Axial plane, Slice 55/155, Head
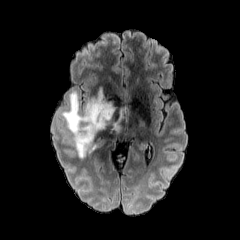
FLAIR MRI.
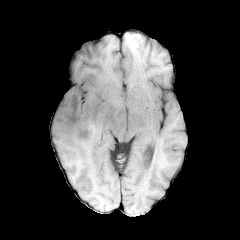
Same slice, T1-weighted MRI.
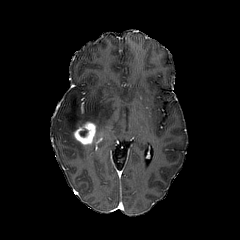
Post-contrast T1-weighted MR image.
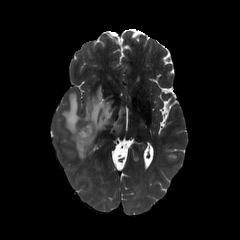
T2-weighted MR.
Findings:
- peritumoral edema: {"x1": 61, "y1": 87, "x2": 129, "y2": 158}
- enhancing tumor: {"x1": 74, "y1": 122, "x2": 96, "y2": 145}
- necrotic tumor core: {"x1": 79, "y1": 128, "x2": 89, "y2": 138}